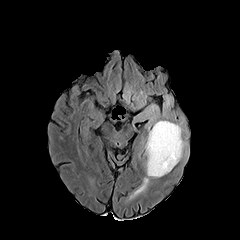
FLAIR MR image.
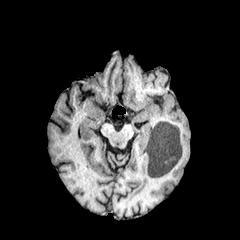
Same slice, T1-weighted MR image.
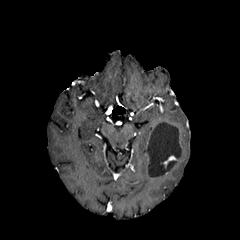
Same slice, post-contrast T1-weighted MRI.
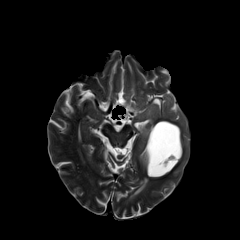
Same slice, T2-weighted MRI.
240x240
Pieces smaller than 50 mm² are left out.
enhancing tumor = [x1=167, y1=122, x2=181, y2=147], [x1=163, y1=155, x2=178, y2=167]
peritumoral edema = [x1=165, y1=97, x2=170, y2=107], [x1=140, y1=178, x2=148, y2=190], [x1=144, y1=120, x2=169, y2=177], [x1=146, y1=105, x2=158, y2=124], [x1=175, y1=124, x2=186, y2=160]
necrotic tumor core = [x1=147, y1=122, x2=181, y2=175]